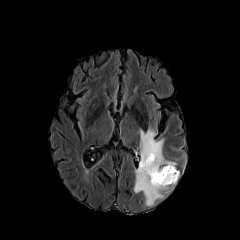
FLAIR MRI.
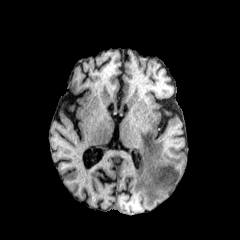
T1-weighted magnetic resonance of the same slice.
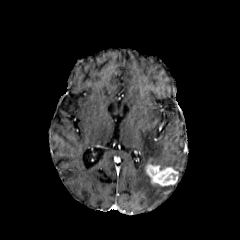
Post-contrast T1-weighted magnetic resonance.
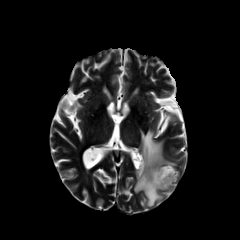
T2-weighted MR.
Brain
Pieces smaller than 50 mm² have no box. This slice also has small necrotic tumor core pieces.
peritumoral edema: <box>134,128,177,206</box> | enhancing tumor: <box>145,159,178,186</box>